240x240; Brain
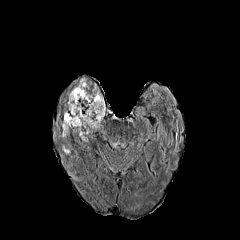
FLAIR magnetic resonance.
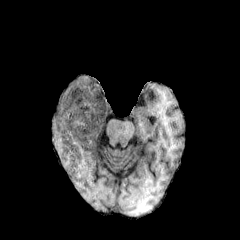
T1-weighted MRI of the same slice.
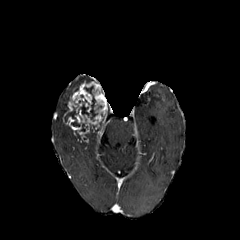
Post-contrast T1-weighted MRI of the same slice.
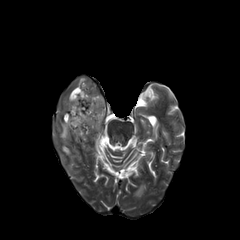
T2-weighted MR image of the same slice.
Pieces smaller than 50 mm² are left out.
enhancing_tumor:
  - region(63, 80, 107, 141)
necrotic_tumor_core:
  - region(64, 108, 79, 126)
  - region(80, 104, 89, 115)
  - region(90, 96, 97, 120)
peritumoral_edema:
  - region(62, 122, 68, 137)